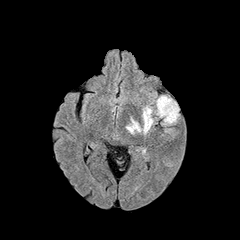
FLAIR magnetic resonance.
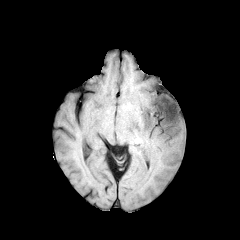
T1-weighted MR image of the same slice.
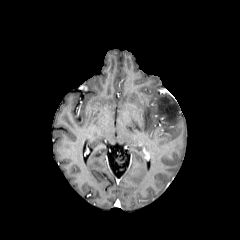
Post-contrast T1-weighted MR.
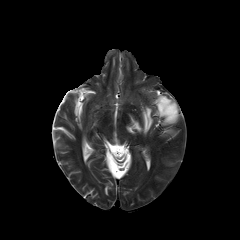
Same slice, T2-weighted MR image.
Head; Image size 240x240; Axial plane
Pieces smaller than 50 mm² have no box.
peritumoral edema: box=[156, 95, 179, 124]; box=[126, 106, 153, 134]